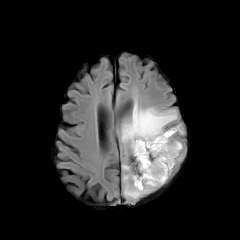
FLAIR MR.
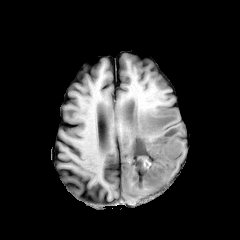
Same slice, T1-weighted MRI.
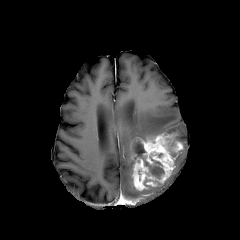
Post-contrast T1-weighted magnetic resonance.
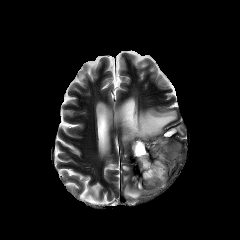
T2-weighted MRI.
Head
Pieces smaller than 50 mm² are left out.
enhancing tumor = bbox(132, 132, 182, 190)
necrotic tumor core = bbox(144, 160, 164, 178); bbox(134, 142, 144, 157)
peritumoral edema = bbox(121, 101, 183, 156); bbox(122, 164, 130, 171); bbox(123, 173, 156, 200)